Brain
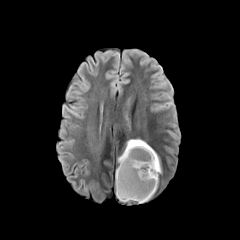
FLAIR MR.
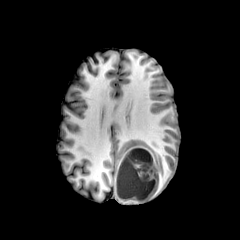
T1-weighted MRI of the same slice.
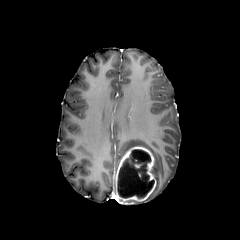
Post-contrast T1-weighted MR image of the same slice.
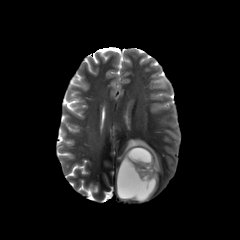
T2-weighted MRI.
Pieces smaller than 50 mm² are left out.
Findings:
• necrotic tumor core: left=117, top=149, right=154, bottom=198
• peritumoral edema: left=118, top=139, right=161, bottom=200
• enhancing tumor: left=116, top=146, right=156, bottom=201